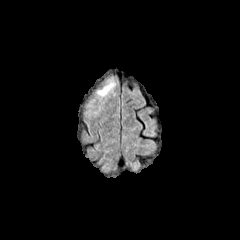
FLAIR MR image.
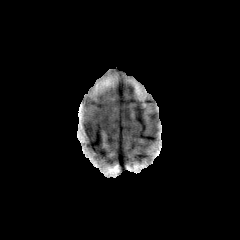
T1-weighted MR image.
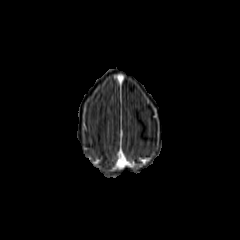
Same slice, post-contrast T1-weighted MR image.
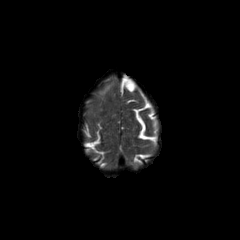
T2-weighted MR of the same slice.
Brain; Image size 240x240
{"peritumoral_edema": ["97 82 114 95"]}